Brain, Axial plane
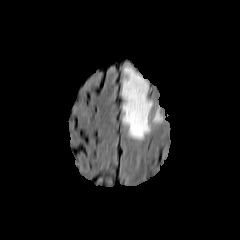
FLAIR MRI.
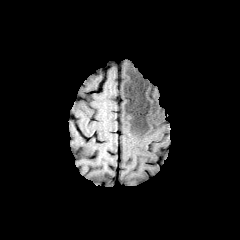
T1-weighted MRI of the same slice.
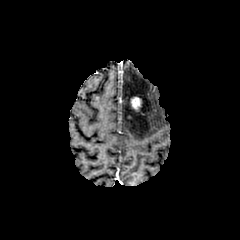
Same slice, post-contrast T1-weighted magnetic resonance.
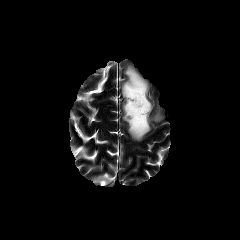
Same slice, T2-weighted MRI.
The enhancing tumor appears at rect(130, 96, 142, 111). 2 peritumoral edema regions appear at rect(152, 108, 162, 122); rect(122, 65, 152, 140).